FLAIR MR image.
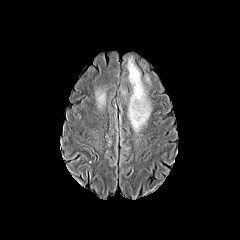
T1-weighted MRI.
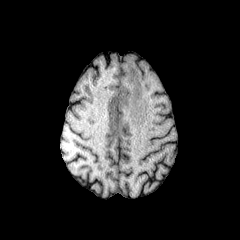
Post-contrast T1-weighted MR image.
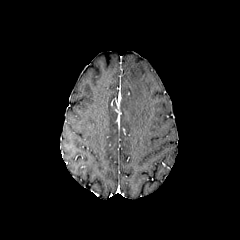
T2-weighted MRI.
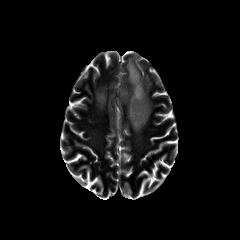
Brain
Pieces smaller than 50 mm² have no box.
The 2 largest peritumoral edema regions appear at 96,92,105,106; 127,58,150,131.